240x240. Head. Slice 101/155.
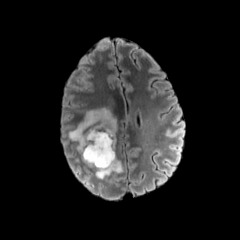
FLAIR magnetic resonance.
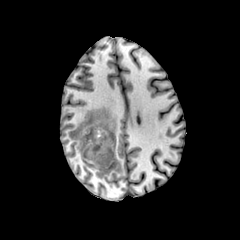
Same slice, T1-weighted MRI.
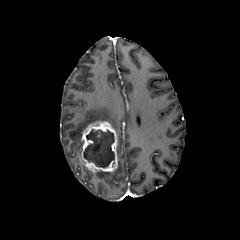
Post-contrast T1-weighted MRI.
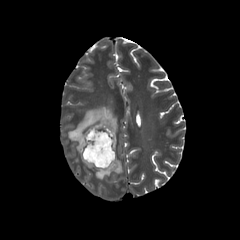
T2-weighted MR image.
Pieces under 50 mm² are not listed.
The largest enhancing tumor region is bounded by (80,121,118,172). 2 peritumoral edema regions are bounded by (95,159,122,179), (68,107,116,152). The necrotic tumor core lies within (83,129,114,167).